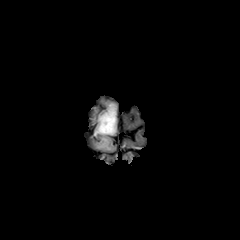
FLAIR magnetic resonance.
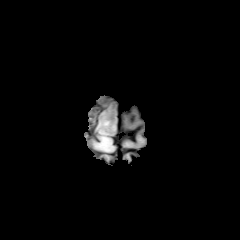
T1-weighted MR image.
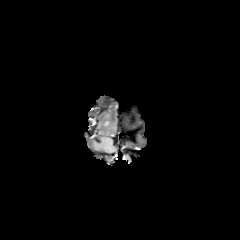
Post-contrast T1-weighted MR image.
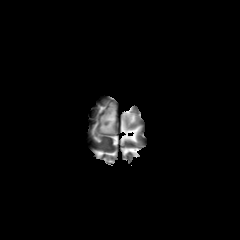
Same slice, T2-weighted magnetic resonance.
Image size 240x240 | Axial slice
peritumoral_edema:
  - left=95, top=102, right=116, bottom=134